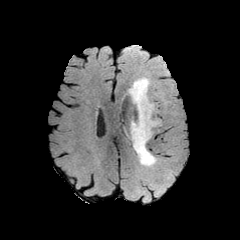
FLAIR MR.
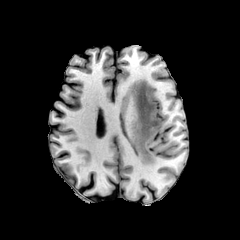
Same slice, T1-weighted MR.
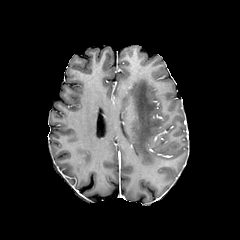
Post-contrast T1-weighted MR.
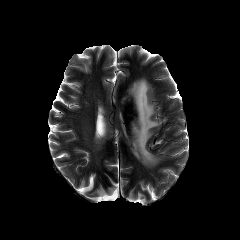
T2-weighted MR image.
240x240
peritumoral_edema:
  - {"x1": 128, "y1": 77, "x2": 158, "y2": 166}